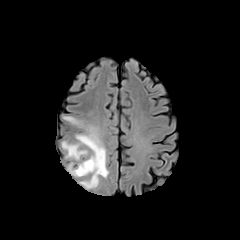
FLAIR MRI.
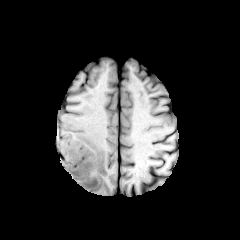
T1-weighted MR image.
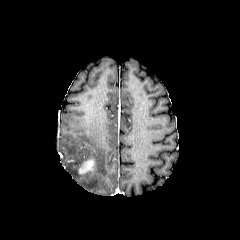
Same slice, post-contrast T1-weighted MRI.
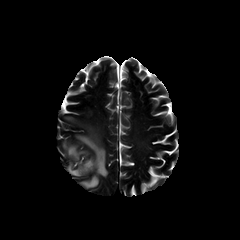
T2-weighted MR image of the same slice.
Head, 240x240 px, Axial slice
enhancing tumor = 78:158:94:174
peritumoral edema = 62:126:108:189, 64:116:79:124